FLAIR MR image.
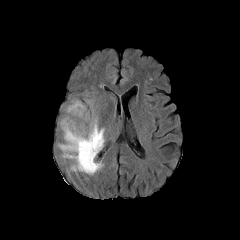
T1-weighted MR image.
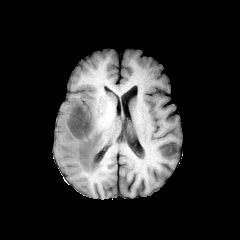
Post-contrast T1-weighted MR.
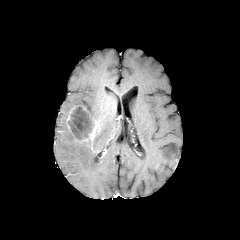
T2-weighted MR.
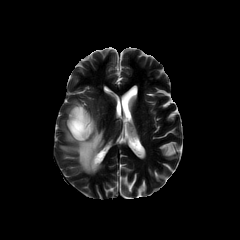
240x240 px
2 peritumoral edema regions are bounded by {"x1": 59, "y1": 115, "x2": 104, "y2": 174}, {"x1": 66, "y1": 100, "x2": 85, "y2": 115}. The necrotic tumor core is located at {"x1": 69, "y1": 107, "x2": 94, "y2": 138}. The enhancing tumor appears at {"x1": 67, "y1": 106, "x2": 96, "y2": 141}.